Slice 60/155
FLAIR MR image.
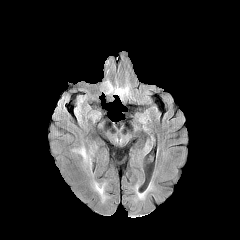
T1-weighted magnetic resonance.
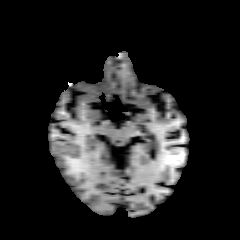
Post-contrast T1-weighted MR.
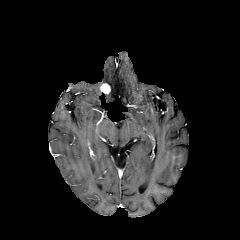
T2-weighted MR.
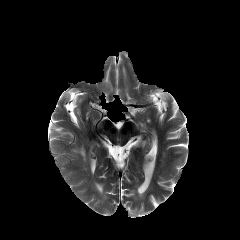
peritumoral edema: left=73, top=146, right=91, bottom=166